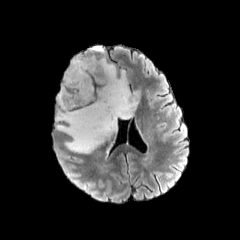
FLAIR MRI.
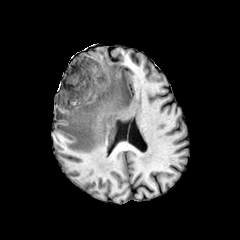
T1-weighted magnetic resonance of the same slice.
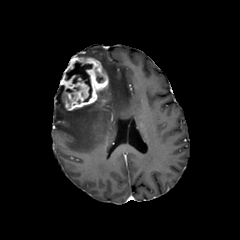
Post-contrast T1-weighted magnetic resonance.
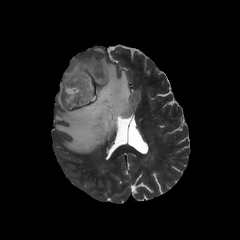
T2-weighted MR image of the same slice.
Head | Axial slice
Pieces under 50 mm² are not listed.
necrotic tumor core — l=65, t=62, r=92, b=101
enhancing tumor — l=60, t=56, r=108, b=110
peritumoral edema — l=56, t=57, r=139, b=153; l=92, t=46, r=104, b=52